FLAIR magnetic resonance.
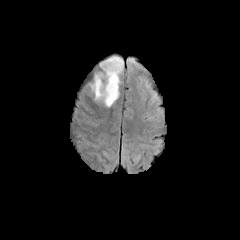
T1-weighted magnetic resonance.
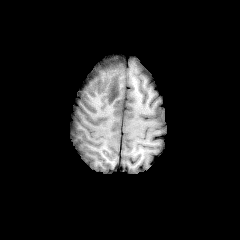
Post-contrast T1-weighted magnetic resonance.
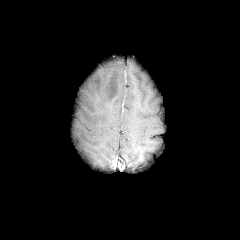
T2-weighted magnetic resonance.
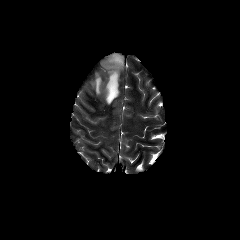
Brain.
Segmented structures:
• peritumoral edema: left=89, top=56, right=123, bottom=107